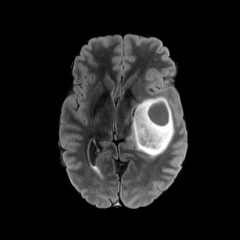
FLAIR magnetic resonance.
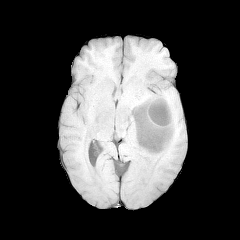
T1-weighted MRI of the same slice.
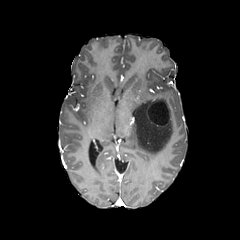
Post-contrast T1-weighted MRI of the same slice.
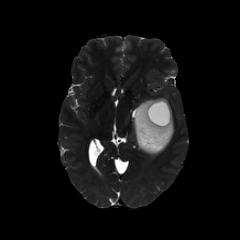
Same slice, T2-weighted MRI.
Axial plane
enhancing_tumor:
  - region(147, 100, 170, 126)
peritumoral_edema:
  - region(130, 98, 174, 156)
necrotic_tumor_core:
  - region(148, 101, 169, 125)